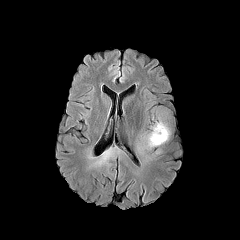
FLAIR MR image.
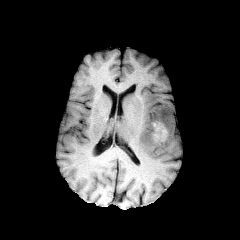
T1-weighted MRI.
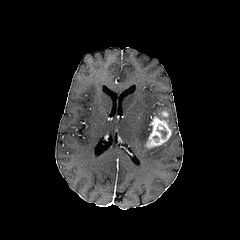
Post-contrast T1-weighted MR image.
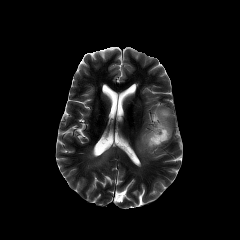
T2-weighted MR.
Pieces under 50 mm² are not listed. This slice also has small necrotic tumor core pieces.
<segmentation>
  <enhancing_tumor>144 109 171 149</enhancing_tumor>
  <peritumoral_edema>137 125 153 154</peritumoral_edema>
</segmentation>